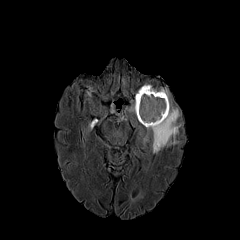
FLAIR MR.
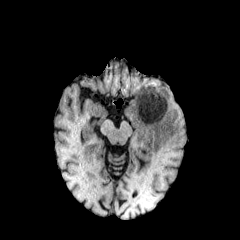
T1-weighted MR.
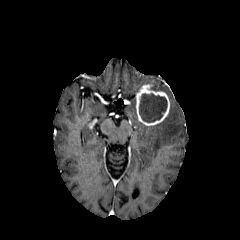
Same slice, post-contrast T1-weighted MRI.
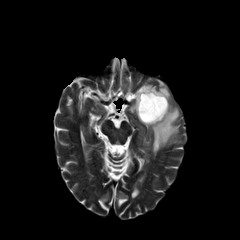
T2-weighted MR image of the same slice.
Brain | Axial plane
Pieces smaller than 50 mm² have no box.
necrotic_tumor_core:
  - x1=139 y1=94 x2=167 y2=122
enhancing_tumor:
  - x1=136 y1=84 x2=169 y2=125
peritumoral_edema:
  - x1=129 y1=101 x2=135 y2=112
  - x1=145 y1=87 x2=181 y2=153